Image size 240x240, Axial plane
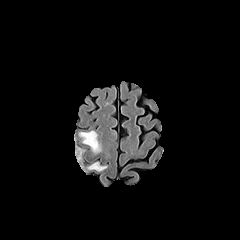
FLAIR MR image.
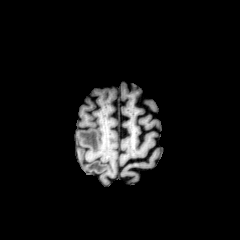
T1-weighted MR of the same slice.
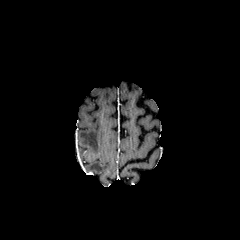
Post-contrast T1-weighted MRI of the same slice.
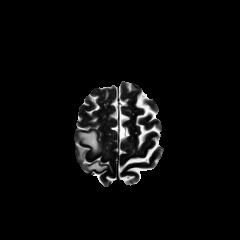
T2-weighted magnetic resonance of the same slice.
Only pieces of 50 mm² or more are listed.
peritumoral edema: bounding box region(87, 162, 106, 171); region(79, 131, 101, 153)